FLAIR MRI.
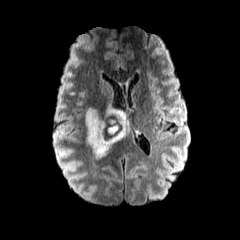
T1-weighted MR.
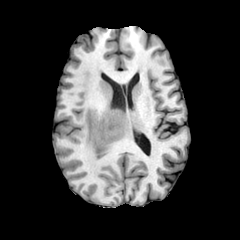
Post-contrast T1-weighted MR image.
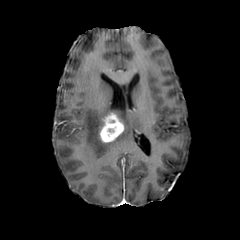
T2-weighted MR image.
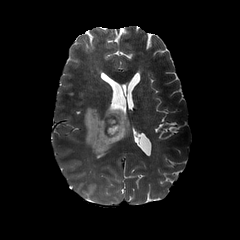
Head; Axial plane
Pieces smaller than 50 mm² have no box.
{"peritumoral_edema": ["(x1=85, y1=102, x2=129, y2=159)"], "enhancing_tumor": ["(x1=99, y1=113, x2=124, y2=143)"], "necrotic_tumor_core": ["(x1=106, y1=128, x2=116, y2=134)"]}